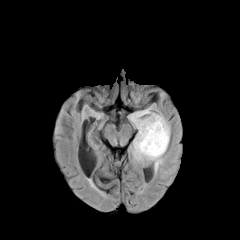
FLAIR magnetic resonance.
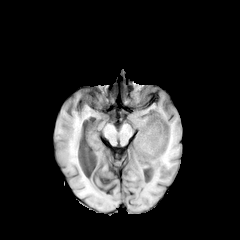
T1-weighted MRI of the same slice.
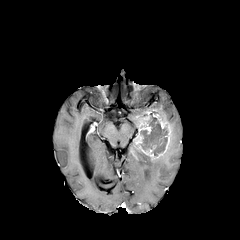
Post-contrast T1-weighted magnetic resonance.
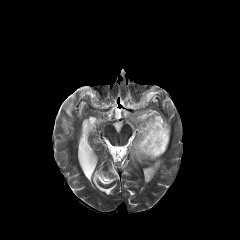
T2-weighted magnetic resonance of the same slice.
Axial slice
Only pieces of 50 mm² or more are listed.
Annotated regions:
* peritumoral edema: x1=132, y1=152, x2=157, y2=161; x1=128, y1=108, x2=158, y2=134
* necrotic tumor core: x1=140, y1=116, x2=167, y2=156
* enhancing tumor: x1=133, y1=114, x2=170, y2=159